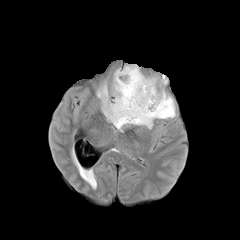
FLAIR magnetic resonance.
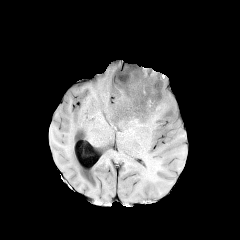
Same slice, T1-weighted MR.
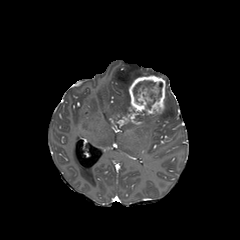
Post-contrast T1-weighted MRI.
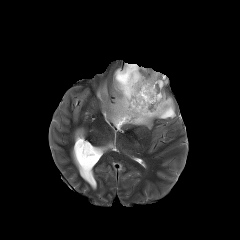
T2-weighted magnetic resonance of the same slice.
Axial slice | Head
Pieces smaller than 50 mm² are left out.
3 necrotic tumor core regions are bounded by 133 81 155 101, 148 92 155 107, 158 82 162 97. The 2 largest peritumoral edema regions appear at 97 65 142 121, 135 93 175 128. The largest enhancing tumor region is at 109 75 165 128.